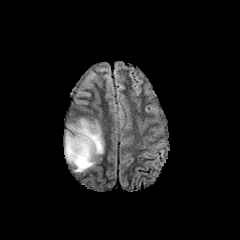
FLAIR MRI.
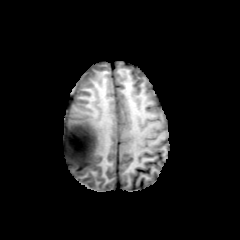
T1-weighted MR.
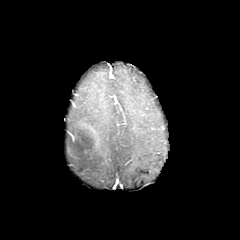
Post-contrast T1-weighted MRI.
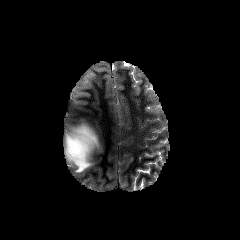
T2-weighted MRI of the same slice.
240x240
enhancing tumor = box(66, 125, 98, 159)
peritumoral edema = box(64, 118, 103, 172)
necrotic tumor core = box(68, 128, 96, 157)